FLAIR magnetic resonance.
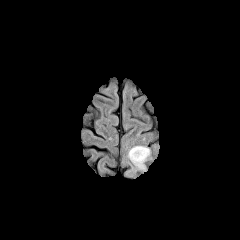
T1-weighted MRI.
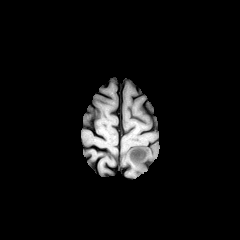
Post-contrast T1-weighted magnetic resonance.
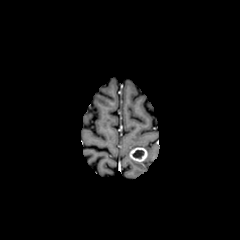
T2-weighted MRI.
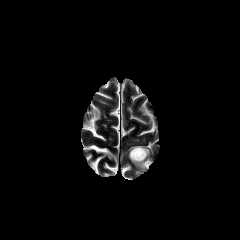
Axial plane | Image size 240x240 | Brain
Segmented structures:
* peritumoral edema: 121,145,154,177
* necrotic tumor core: 132,150,144,158
* enhancing tumor: 129,147,147,162